Image size 240x240, Image covers 240 mm x 240 mm, Head, Axial slice
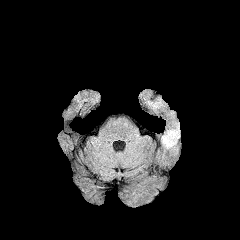
FLAIR magnetic resonance.
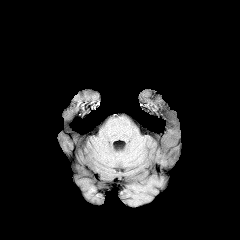
T1-weighted MR of the same slice.
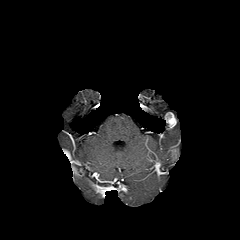
Same slice, post-contrast T1-weighted MRI.
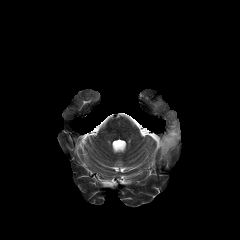
T2-weighted MRI.
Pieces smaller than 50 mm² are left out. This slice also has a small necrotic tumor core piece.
The enhancing tumor is bounded by x1=166, y1=112, x2=176, y2=128. 2 peritumoral edema regions are bounded by x1=162, y1=122, x2=180, y2=149; x1=150, y1=100, x2=162, y2=108.